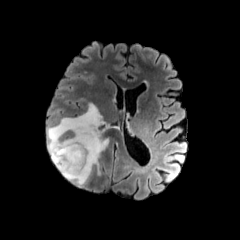
FLAIR MR.
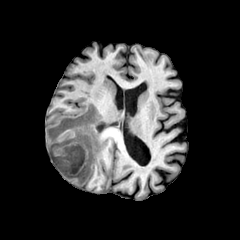
Same slice, T1-weighted MR.
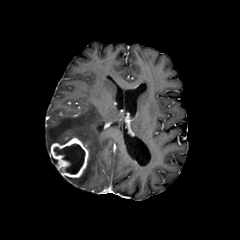
Post-contrast T1-weighted MR.
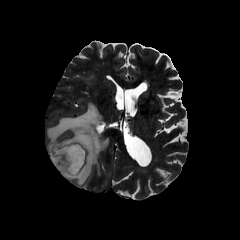
Same slice, T2-weighted MR.
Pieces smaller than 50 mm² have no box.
<segmentation>
  <enhancing_tumor>(x1=50, y1=137, x2=89, y2=177)</enhancing_tumor>
  <necrotic_tumor_core>(x1=54, y1=144, x2=84, y2=174)</necrotic_tumor_core>
  <peritumoral_edema>(x1=47, y1=103, x2=108, y2=185)</peritumoral_edema>
</segmentation>